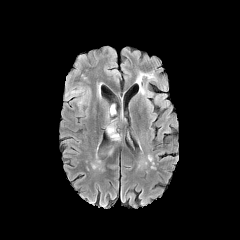
FLAIR MR image.
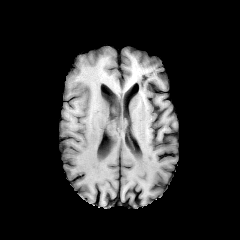
Same slice, T1-weighted MR.
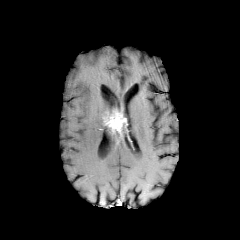
Post-contrast T1-weighted MR image.
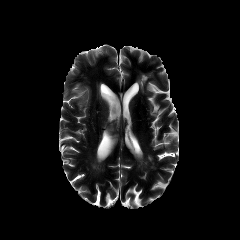
T2-weighted MR image of the same slice.
Axial plane.
<segmentation>
  <enhancing_tumor>l=105, t=112, r=125, b=131</enhancing_tumor>
  <peritumoral_edema>l=106, t=125, r=119, b=140</peritumoral_edema>
</segmentation>